FLAIR MR image.
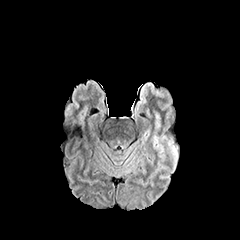
T1-weighted magnetic resonance.
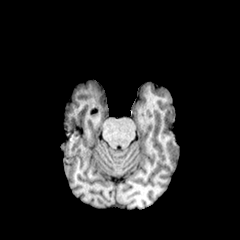
Post-contrast T1-weighted MR.
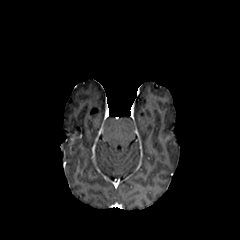
T2-weighted MR image.
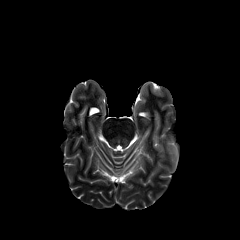
Brain; Axial slice
The peritumoral edema appears at bbox(167, 139, 177, 168).